Image width 240 mm, 1.00 mm slice spacing, Axial slice
FLAIR MRI.
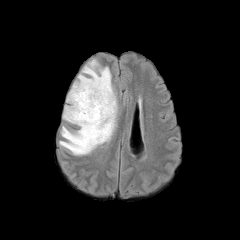
T1-weighted MR image.
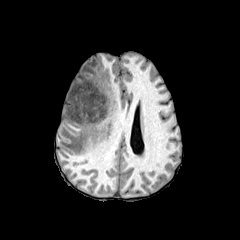
Post-contrast T1-weighted MR.
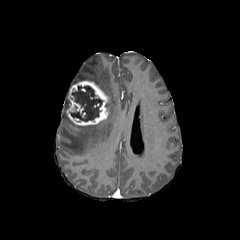
T2-weighted MR image.
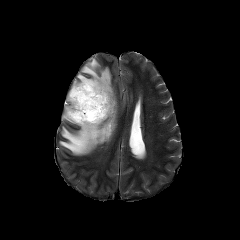
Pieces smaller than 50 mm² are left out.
The largest necrotic tumor core region is located at box=[70, 86, 102, 121]. The largest enhancing tumor region is at box=[66, 80, 109, 125]. 2 peritumoral edema regions appear at box=[63, 96, 73, 123]; box=[59, 59, 117, 155].